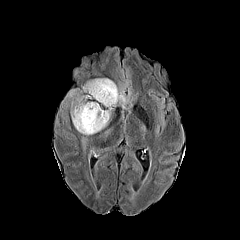
FLAIR MR.
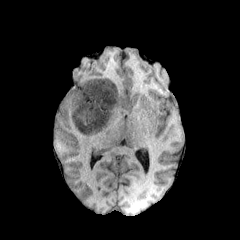
T1-weighted MR of the same slice.
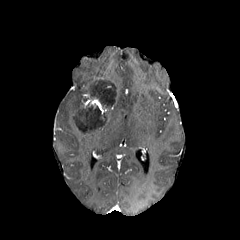
Post-contrast T1-weighted MR image.
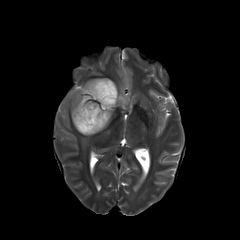
T2-weighted MR image.
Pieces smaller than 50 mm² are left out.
Segmented structures:
- peritumoral edema: [81,80,96,92], [63,90,75,103], [114,86,129,108], [71,96,88,135]
- enhancing tumor: [83,94,114,115]
- necrotic tumor core: [76,103,107,134], [86,79,117,108]